Brain
FLAIR MR.
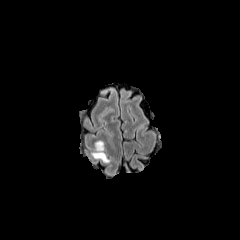
T1-weighted MR.
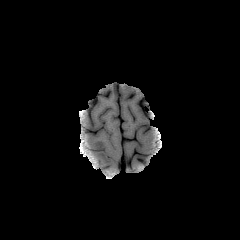
Post-contrast T1-weighted MRI.
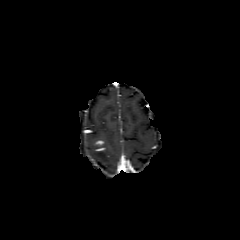
T2-weighted MR.
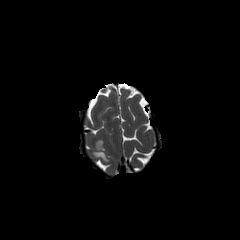
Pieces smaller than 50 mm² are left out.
enhancing_tumor:
  - x1=96 y1=140 x2=104 y2=150
peritumoral_edema:
  - x1=90 y1=142 x2=109 y2=162